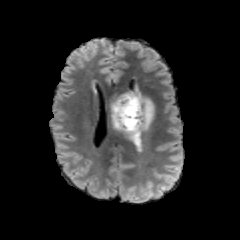
FLAIR MRI.
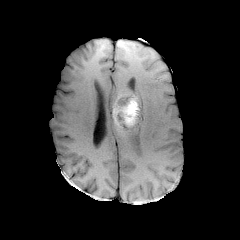
T1-weighted MRI of the same slice.
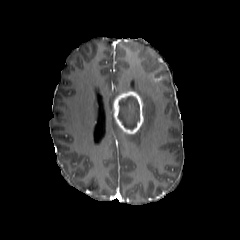
Post-contrast T1-weighted MR image.
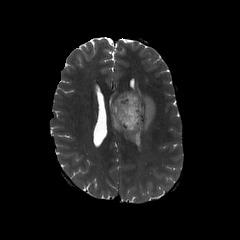
T2-weighted MR image of the same slice.
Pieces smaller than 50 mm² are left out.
* peritumoral edema: box(111, 89, 154, 144)
* necrotic tumor core: box(118, 96, 139, 129)
* enhancing tumor: box(113, 91, 143, 134)